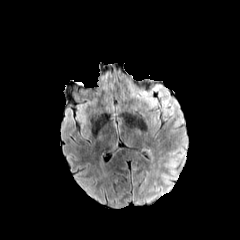
FLAIR MR image.
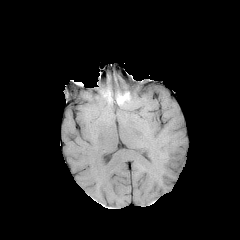
T1-weighted MR image.
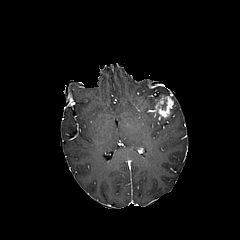
Same slice, post-contrast T1-weighted MR image.
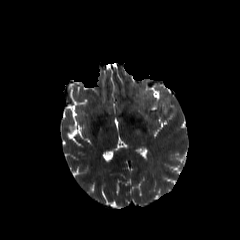
T2-weighted MR of the same slice.
Axial slice
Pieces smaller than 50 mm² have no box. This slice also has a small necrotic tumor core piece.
The peritumoral edema is located at bbox=[140, 91, 154, 105]. The enhancing tumor appears at bbox=[153, 93, 176, 117].